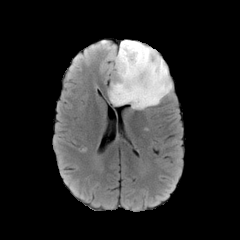
FLAIR magnetic resonance.
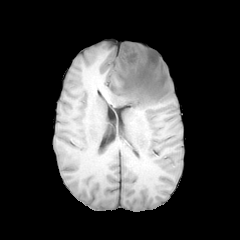
T1-weighted magnetic resonance.
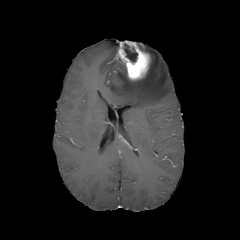
Same slice, post-contrast T1-weighted MR.
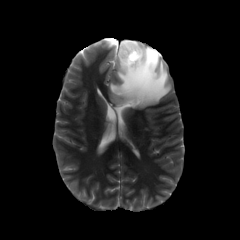
Same slice, T2-weighted MR.
Axial view | Image size 240x240
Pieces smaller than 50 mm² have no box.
enhancing tumor — rect(115, 40, 150, 80)
necrotic tumor core — rect(124, 44, 137, 61)
peritumoral edema — rect(109, 43, 172, 109)